240x240 px. Head. Slice 74 of 155.
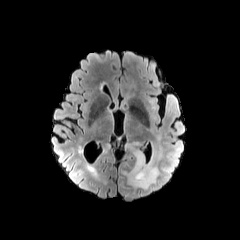
FLAIR MRI.
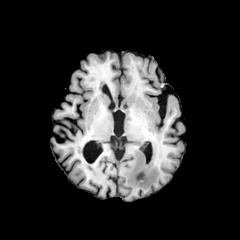
Same slice, T1-weighted magnetic resonance.
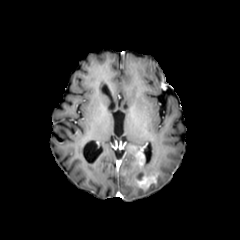
Post-contrast T1-weighted MR image of the same slice.
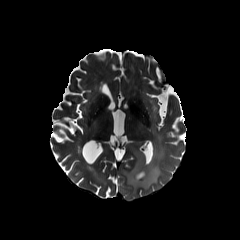
Same slice, T2-weighted magnetic resonance.
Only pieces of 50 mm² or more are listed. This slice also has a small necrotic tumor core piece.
enhancing tumor = 126:144:157:188
peritumoral edema = 124:144:161:193